Slice index 93; Head
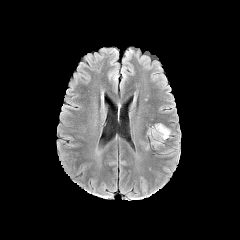
FLAIR MR.
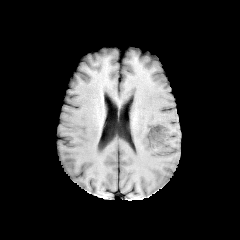
T1-weighted MR image of the same slice.
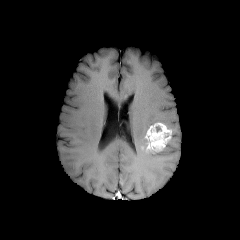
Same slice, post-contrast T1-weighted magnetic resonance.
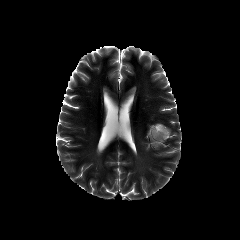
T2-weighted MRI.
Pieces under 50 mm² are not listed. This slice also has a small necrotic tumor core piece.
enhancing tumor = bbox=[146, 123, 171, 149]